FLAIR MR image.
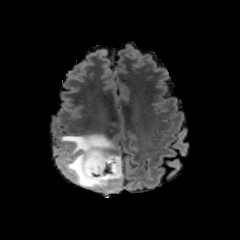
T1-weighted MR.
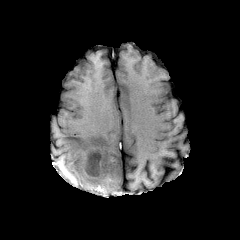
Post-contrast T1-weighted MR image.
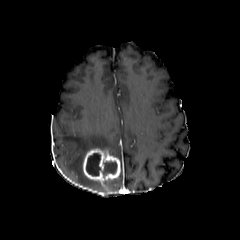
T2-weighted MR.
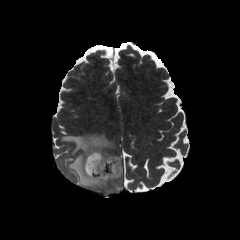
2 necrotic tumor core regions are bounded by <bbox>86, 153, 100, 175</bbox>, <bbox>103, 162, 116, 174</bbox>. The enhancing tumor is located at <bbox>82, 148, 121, 190</bbox>. The peritumoral edema lies within <bbox>60, 133, 123, 191</bbox>.